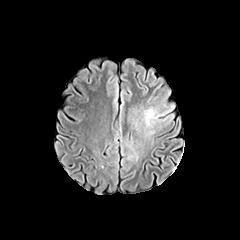
FLAIR MR.
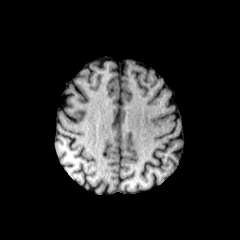
Same slice, T1-weighted magnetic resonance.
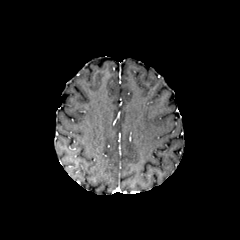
Post-contrast T1-weighted MR image.
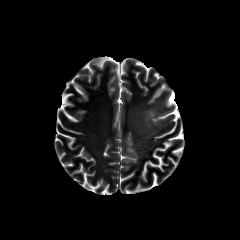
T2-weighted magnetic resonance.
Image size 240x240 | Axial view | Head
The peritumoral edema appears at {"x1": 142, "y1": 107, "x2": 161, "y2": 126}.